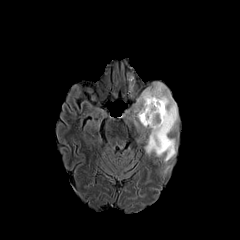
FLAIR MRI.
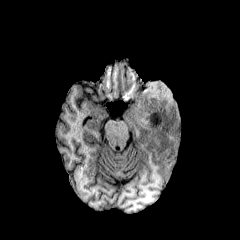
T1-weighted MRI of the same slice.
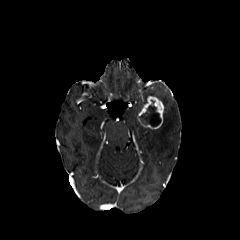
Post-contrast T1-weighted magnetic resonance of the same slice.
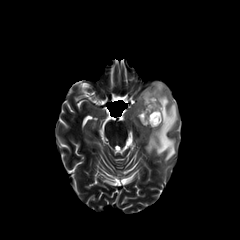
T2-weighted MR.
Brain
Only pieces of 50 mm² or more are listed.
necrotic_tumor_core:
  - rect(140, 105, 161, 126)
peritumoral_edema:
  - rect(134, 82, 178, 162)
enhancing_tumor:
  - rect(137, 96, 164, 129)